FLAIR MR.
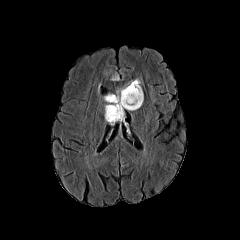
T1-weighted MR.
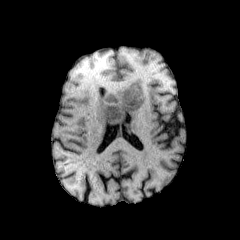
Post-contrast T1-weighted MR.
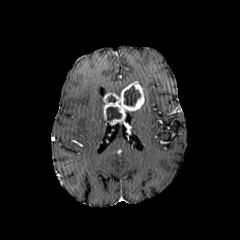
T2-weighted MRI.
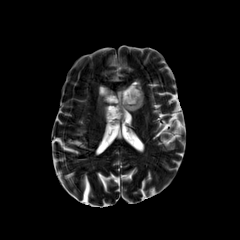
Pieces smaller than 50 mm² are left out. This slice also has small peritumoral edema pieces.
<segmentation>
  <necrotic_tumor_core>[107,107,121,120], [124,86,140,105]</necrotic_tumor_core>
  <enhancing_tumor>[102,81,144,124]</enhancing_tumor>
</segmentation>